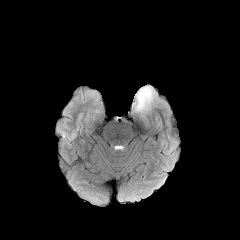
FLAIR MR image.
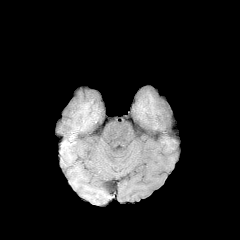
T1-weighted MR image.
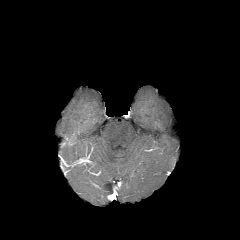
Post-contrast T1-weighted MR image of the same slice.
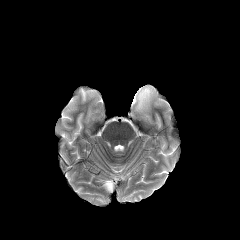
T2-weighted MR image.
Axial view. Head. 240x240.
peritumoral_edema:
  - <bbox>132, 86, 159, 113</bbox>